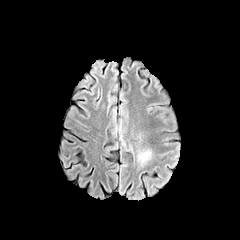
FLAIR MR.
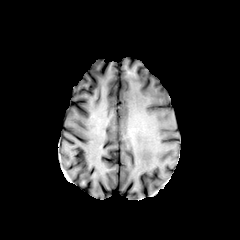
T1-weighted MRI.
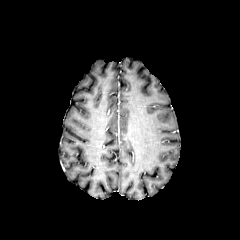
Post-contrast T1-weighted magnetic resonance.
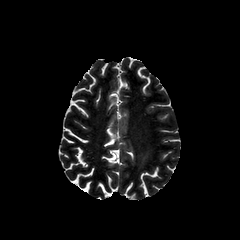
T2-weighted MRI.
Image size 240x240.
The peritumoral edema lies within x1=140, y1=153, x2=149, y2=161.